FLAIR MR image.
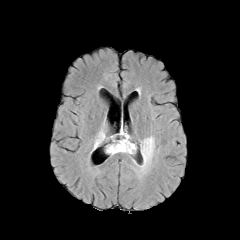
T1-weighted MRI.
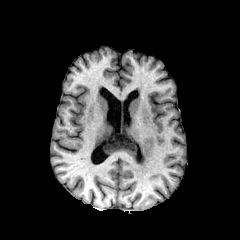
Post-contrast T1-weighted MR image.
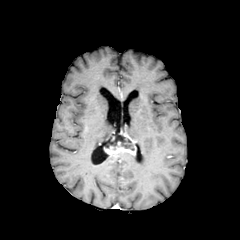
T2-weighted MRI.
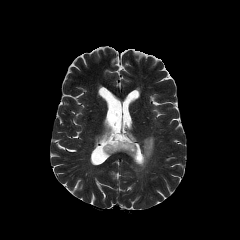
Axial slice | Head
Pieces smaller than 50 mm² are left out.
peritumoral_edema:
  - box(135, 136, 154, 172)
  - box(94, 130, 110, 148)
necrotic_tumor_core:
  - box(102, 133, 134, 150)
enhancing_tumor:
  - box(104, 142, 136, 155)